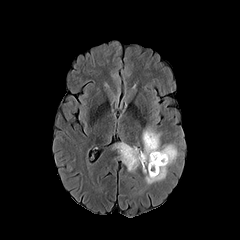
FLAIR magnetic resonance.
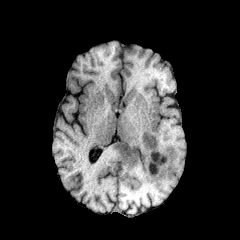
T1-weighted MR of the same slice.
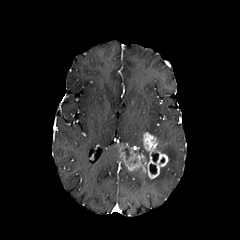
Post-contrast T1-weighted magnetic resonance of the same slice.
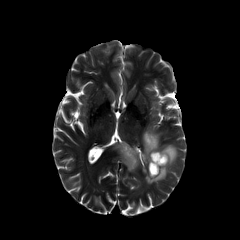
T2-weighted magnetic resonance of the same slice.
Brain
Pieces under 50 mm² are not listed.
necrotic_tumor_core:
  - bbox=[149, 164, 156, 174]
  - bbox=[151, 153, 158, 162]
peritumoral_edema:
  - bbox=[143, 127, 178, 184]
enhancing_tumor:
  - bbox=[116, 132, 168, 178]